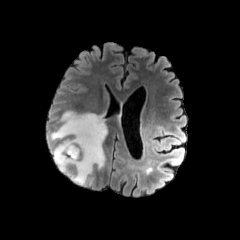
FLAIR MR image.
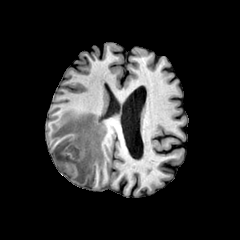
T1-weighted MR.
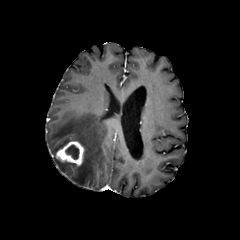
Post-contrast T1-weighted MR.
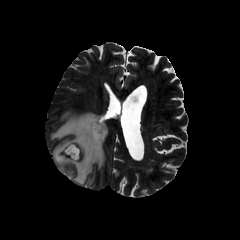
T2-weighted magnetic resonance.
Axial slice; 240x240 px
{
  "peritumoral_edema": [
    "(50, 111, 107, 185)"
  ],
  "enhancing_tumor": [
    "(55, 141, 84, 166)"
  ],
  "necrotic_tumor_core": [
    "(65, 145, 78, 159)"
  ]
}